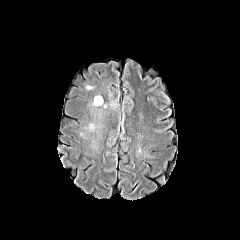
FLAIR MRI.
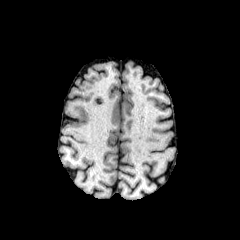
Same slice, T1-weighted MR.
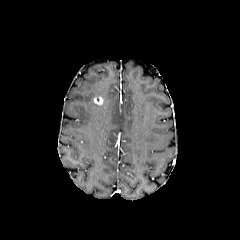
Post-contrast T1-weighted MRI.
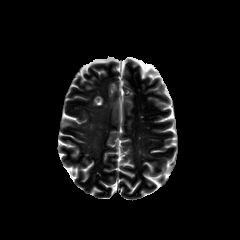
T2-weighted MRI of the same slice.
240x240 px
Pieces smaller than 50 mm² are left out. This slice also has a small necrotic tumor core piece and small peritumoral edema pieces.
enhancing tumor — (x1=94, y1=97, x2=103, y2=104)